Image width 240 mm. Brain.
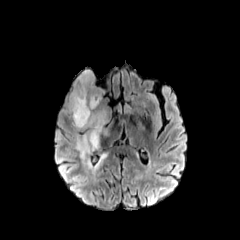
FLAIR MR.
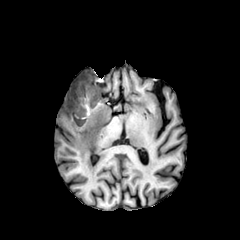
T1-weighted magnetic resonance of the same slice.
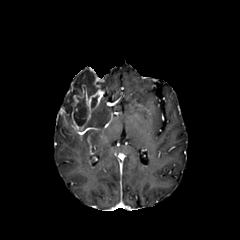
Post-contrast T1-weighted MR of the same slice.
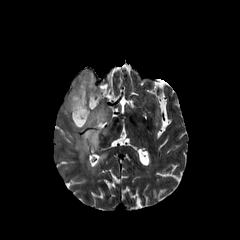
T2-weighted MR image of the same slice.
The enhancing tumor is at rect(61, 83, 104, 132). 2 necrotic tumor core regions appear at rect(73, 97, 88, 126); rect(91, 96, 97, 107). 3 peritumoral edema regions are bounded by rect(74, 103, 107, 161); rect(88, 153, 106, 168); rect(63, 69, 97, 115).